FLAIR magnetic resonance.
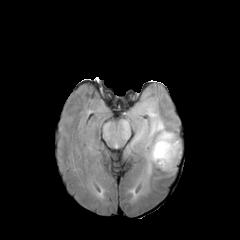
T1-weighted magnetic resonance.
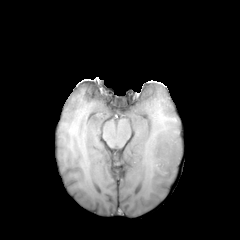
Post-contrast T1-weighted MR.
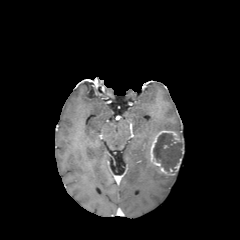
T2-weighted MR image.
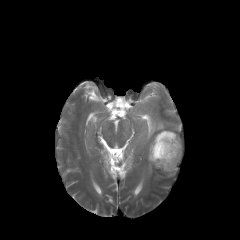
Axial slice
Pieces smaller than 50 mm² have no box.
<segmentation>
  <necrotic_tumor_core>x1=153, y1=133, x2=182, y2=173</necrotic_tumor_core>
  <enhancing_tumor>x1=150, y1=130, x2=184, y2=175</enhancing_tumor>
  <peritumoral_edema>x1=130, y1=101, x2=178, y2=187</peritumoral_edema>
</segmentation>